Slice 121/155; Head; Image covers 240 mm x 240 mm
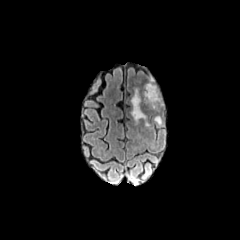
FLAIR MRI.
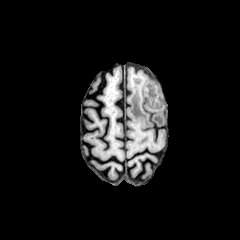
T1-weighted magnetic resonance.
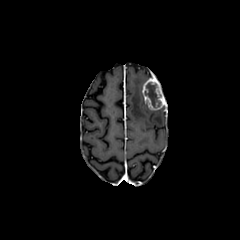
Post-contrast T1-weighted MR.
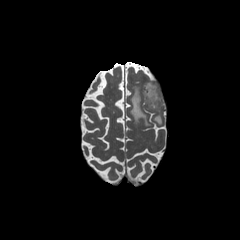
Same slice, T2-weighted magnetic resonance.
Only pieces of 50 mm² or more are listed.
2 peritumoral edema regions appear at <box>154,109,162,125</box>, <box>130,87,149,125</box>. The enhancing tumor is at <box>142,77,165,110</box>. The largest necrotic tumor core region is located at <box>145,83,157,107</box>.